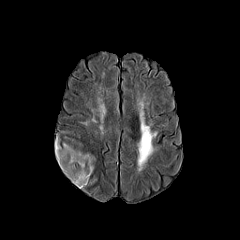
FLAIR MRI.
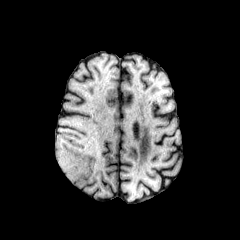
Same slice, T1-weighted magnetic resonance.
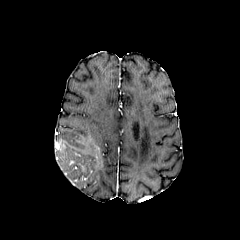
Post-contrast T1-weighted magnetic resonance of the same slice.
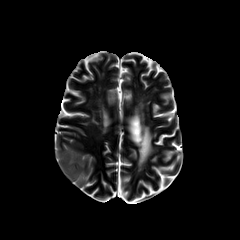
T2-weighted MR image of the same slice.
Axial view; Head
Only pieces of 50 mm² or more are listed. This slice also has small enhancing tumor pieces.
peritumoral_edema:
  - (57, 131, 80, 137)
  - (55, 137, 93, 188)